Axial view. Brain. Slice 48 of 155. 240x240 px.
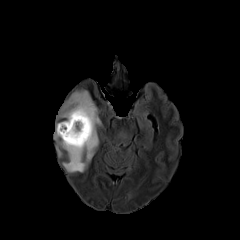
FLAIR MRI.
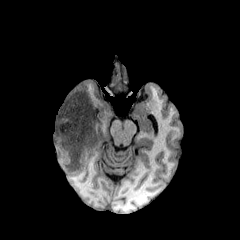
T1-weighted MR image.
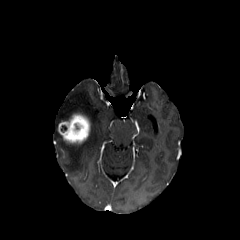
Post-contrast T1-weighted MR of the same slice.
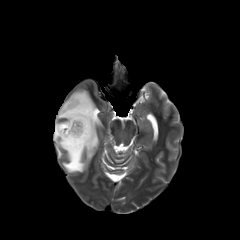
T2-weighted magnetic resonance of the same slice.
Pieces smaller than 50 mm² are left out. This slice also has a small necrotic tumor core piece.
<segmentation>
  <peritumoral_edema>[54, 89, 101, 172]</peritumoral_edema>
  <enhancing_tumor>[58, 113, 90, 144]</enhancing_tumor>
</segmentation>